FLAIR magnetic resonance.
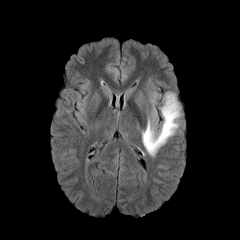
T1-weighted MR.
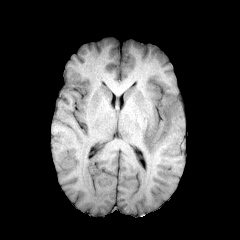
Post-contrast T1-weighted MR image.
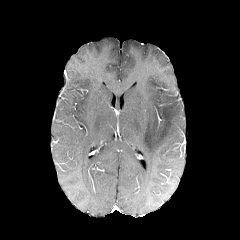
T2-weighted MR image.
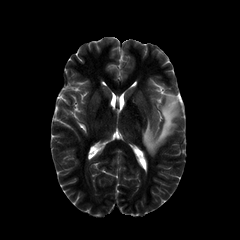
Axial plane; Image size 240x240
peritumoral edema: <bbox>142, 92, 180, 156</bbox>